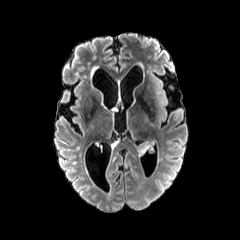
FLAIR MRI.
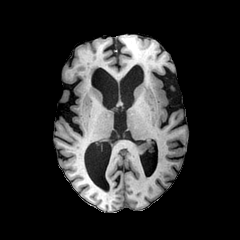
T1-weighted MR image.
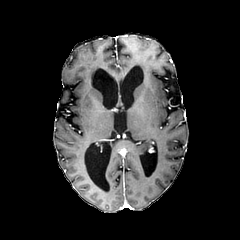
Post-contrast T1-weighted MRI of the same slice.
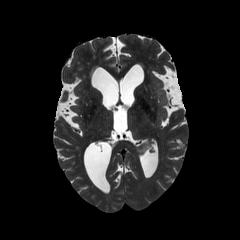
T2-weighted magnetic resonance of the same slice.
Axial slice, Brain
<segmentation>
  <peritumoral_edema>box=[138, 142, 152, 154]</peritumoral_edema>
</segmentation>